FLAIR MR image.
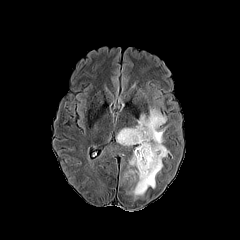
T1-weighted MR image.
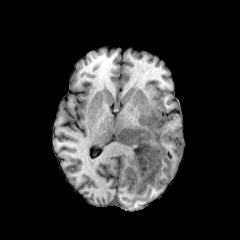
Post-contrast T1-weighted magnetic resonance.
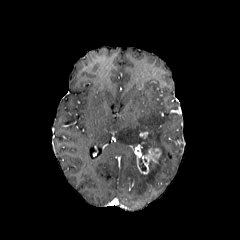
T2-weighted magnetic resonance.
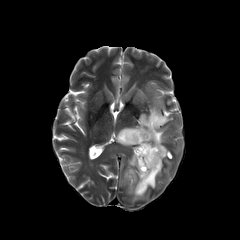
240x240; Brain
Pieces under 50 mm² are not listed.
peritumoral edema: 129,153,136,167; 116,104,169,200 | enhancing tumor: 134,144,161,174 | necrotic tumor core: 139,157,146,171; 141,144,149,154